240x240 px, Head
FLAIR magnetic resonance.
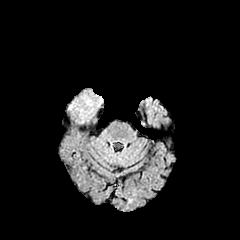
T1-weighted MRI.
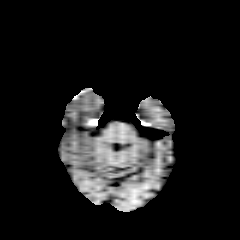
Post-contrast T1-weighted MRI.
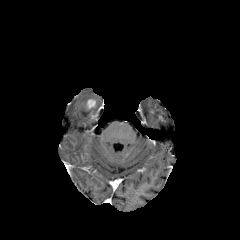
T2-weighted magnetic resonance.
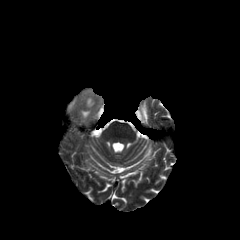
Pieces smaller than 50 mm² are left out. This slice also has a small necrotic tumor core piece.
The largest peritumoral edema region lies within left=76, top=109, right=89, bottom=121. The enhancing tumor is at left=86, top=98, right=96, bottom=110.